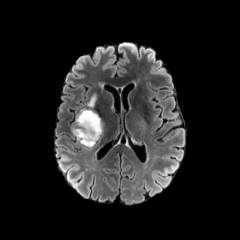
FLAIR MR image.
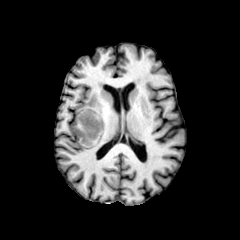
T1-weighted magnetic resonance.
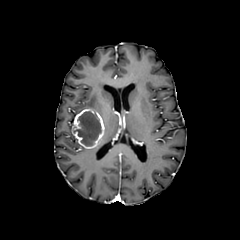
Post-contrast T1-weighted MR image.
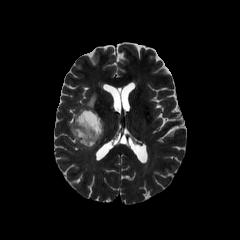
T2-weighted MR image of the same slice.
Head
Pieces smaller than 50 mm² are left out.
peritumoral_edema:
  - 79:93:96:112
enhancing_tumor:
  - 71:109:103:148
necrotic_tumor_core:
  - 76:111:101:146